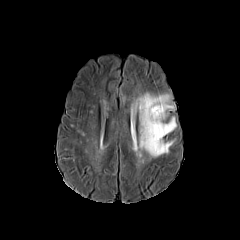
FLAIR MR.
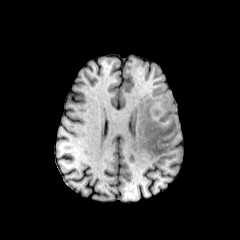
T1-weighted MRI.
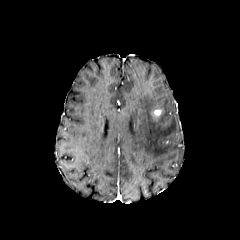
Post-contrast T1-weighted magnetic resonance.
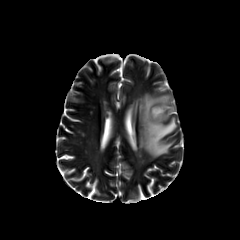
Same slice, T2-weighted MR image.
Image size 240x240, Axial slice, Brain
{"peritumoral_edema": ["136:93:176:157"], "enhancing_tumor": ["152:109:162:117"]}